Brain | Slice 52 of 155
FLAIR MR image.
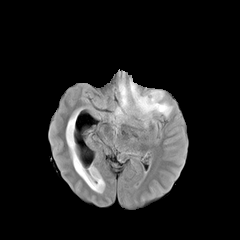
T1-weighted MRI.
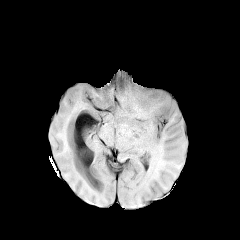
Post-contrast T1-weighted MR.
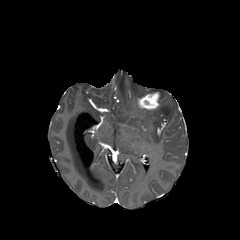
T2-weighted MRI.
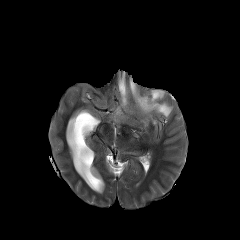
peritumoral_edema:
  - {"x1": 115, "y1": 107, "x2": 122, "y2": 120}
  - {"x1": 119, "y1": 75, "x2": 172, "y2": 116}
enhancing_tumor:
  - {"x1": 137, "y1": 92, "x2": 159, "y2": 109}